240x240 | Slice 72/155 | Brain
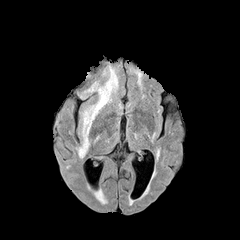
FLAIR magnetic resonance.
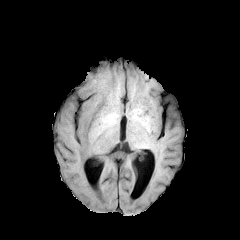
T1-weighted magnetic resonance of the same slice.
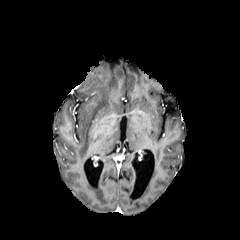
Post-contrast T1-weighted MRI of the same slice.
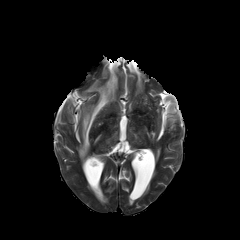
T2-weighted MR image.
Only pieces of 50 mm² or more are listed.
• peritumoral edema: box(77, 65, 117, 157); box(56, 103, 63, 129)